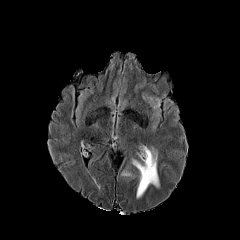
FLAIR magnetic resonance.
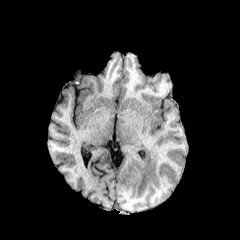
T1-weighted MR.
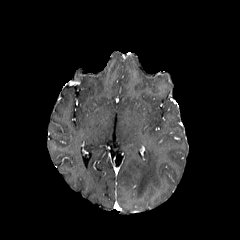
Post-contrast T1-weighted MR image.
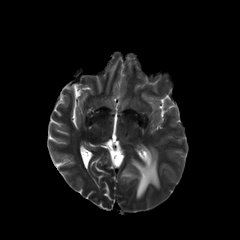
T2-weighted MR image.
Image size 240x240
2 peritumoral edema regions are bounded by (132, 147, 159, 198), (122, 170, 132, 176).